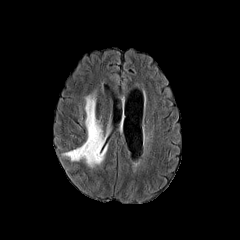
FLAIR magnetic resonance.
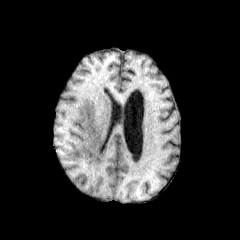
T1-weighted magnetic resonance of the same slice.
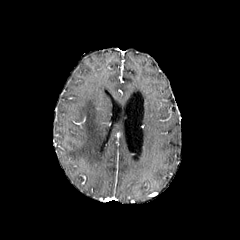
Post-contrast T1-weighted magnetic resonance of the same slice.
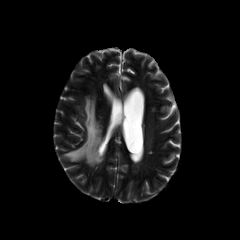
T2-weighted magnetic resonance.
Axial plane
<segmentation>
  <peritumoral_edema>left=63, top=95, right=107, bottom=167</peritumoral_edema>
</segmentation>